Axial slice
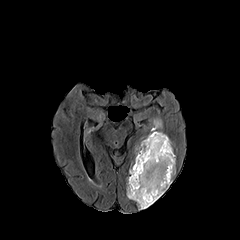
FLAIR MR.
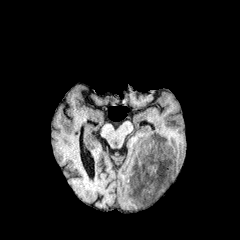
T1-weighted MRI.
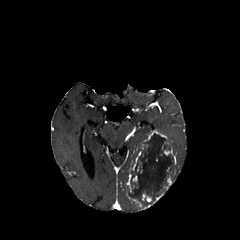
Same slice, post-contrast T1-weighted magnetic resonance.
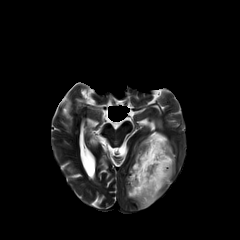
T2-weighted MRI.
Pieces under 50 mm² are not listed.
Findings:
* peritumoral edema: l=151, t=118, r=162, b=130; l=135, t=140, r=143, b=156
* enhancing tumor: l=126, t=193, r=163, b=209; l=142, t=193, r=151, b=202; l=126, t=173, r=131, b=192; l=130, t=143, r=148, b=170; l=163, t=175, r=172, b=189; l=144, t=130, r=169, b=144; l=164, t=147, r=176, b=165
* necrotic tumor core: l=127, t=133, r=175, b=206